Brain
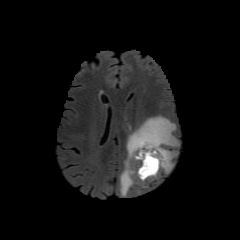
FLAIR MRI.
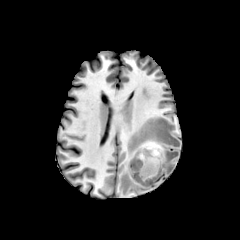
T1-weighted MR image of the same slice.
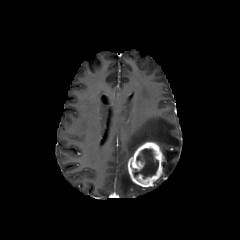
Same slice, post-contrast T1-weighted MR image.
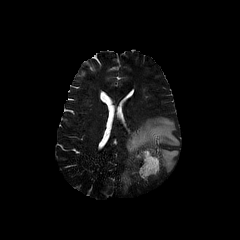
Same slice, T2-weighted MR image.
enhancing tumor: [x1=127, y1=142, x2=165, y2=187] | peritumoral edema: [x1=119, y1=116, x2=179, y2=195] | necrotic tumor core: [x1=133, y1=149, x2=158, y2=178]